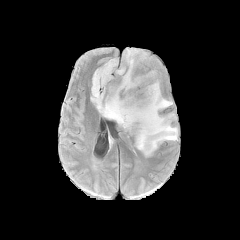
FLAIR MRI.
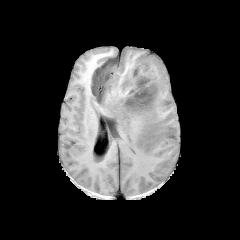
Same slice, T1-weighted MRI.
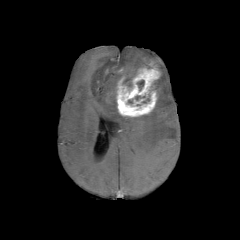
Post-contrast T1-weighted MR image.
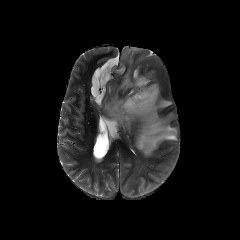
T2-weighted magnetic resonance of the same slice.
240x240, Axial view
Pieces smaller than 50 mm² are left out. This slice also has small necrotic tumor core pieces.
peritumoral edema: {"x1": 91, "y1": 48, "x2": 178, "y2": 156} | enhancing tumor: {"x1": 116, "y1": 62, "x2": 160, "y2": 117}